FLAIR MR.
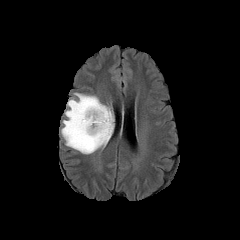
T1-weighted magnetic resonance.
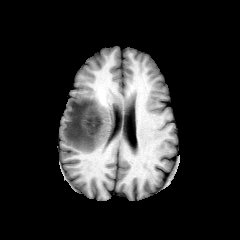
Post-contrast T1-weighted magnetic resonance.
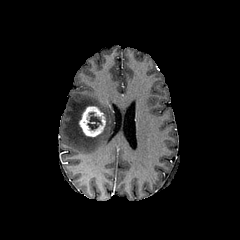
T2-weighted magnetic resonance.
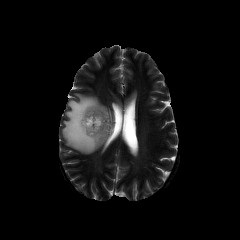
Image size 240x240
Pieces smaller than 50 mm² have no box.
The largest enhancing tumor region is located at x1=79, y1=106, x2=105, y2=136. The peritumoral edema lies within x1=61, y1=93, x2=113, y2=154. The necrotic tumor core is at x1=87, y1=113, x2=101, y2=129.